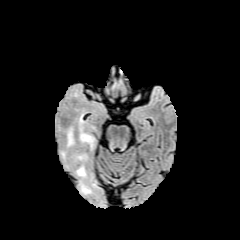
FLAIR magnetic resonance.
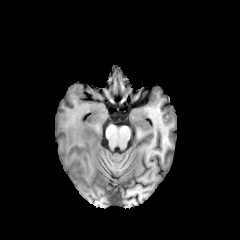
T1-weighted MR of the same slice.
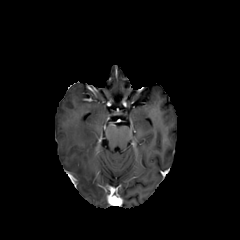
Same slice, post-contrast T1-weighted magnetic resonance.
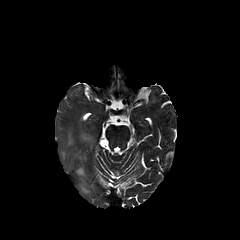
Same slice, T2-weighted MR image.
Head.
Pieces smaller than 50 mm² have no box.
Annotated regions:
* peritumoral edema: region(81, 184, 90, 193); region(76, 154, 85, 160); region(78, 117, 94, 147); region(76, 165, 86, 177); region(66, 127, 75, 148)